FLAIR MR.
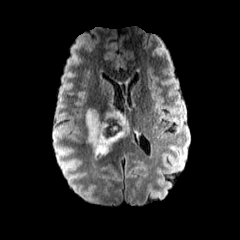
T1-weighted MR.
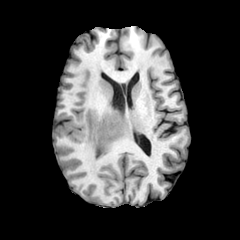
Post-contrast T1-weighted MR.
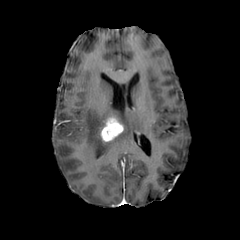
T2-weighted MR.
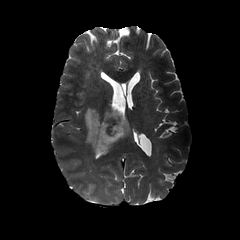
Axial view
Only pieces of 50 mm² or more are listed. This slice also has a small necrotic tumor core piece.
The enhancing tumor is at (left=100, top=115, right=123, bottom=142). The peritumoral edema is at (left=86, top=103, right=129, bottom=159).